Brain
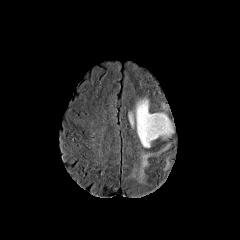
FLAIR MRI.
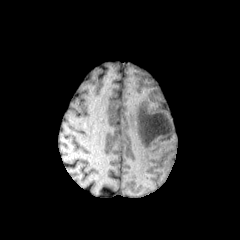
T1-weighted MRI.
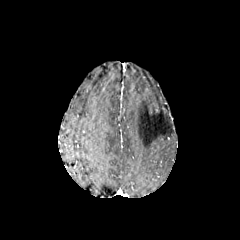
Post-contrast T1-weighted MR image of the same slice.
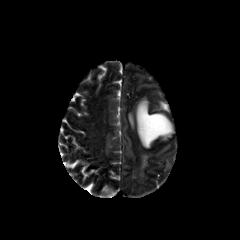
T2-weighted MR image.
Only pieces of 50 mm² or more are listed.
peritumoral edema: (x1=131, y1=145, x2=169, y2=183), (x1=128, y1=113, x2=133, y2=127), (x1=136, y1=98, x2=173, y2=148)